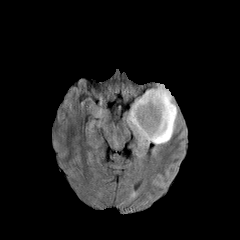
FLAIR magnetic resonance.
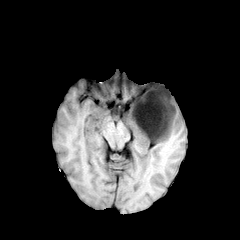
T1-weighted MRI.
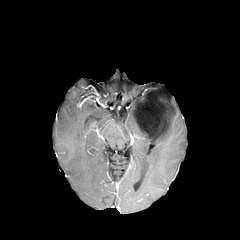
Post-contrast T1-weighted MR of the same slice.
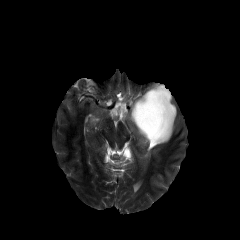
T2-weighted MR.
Brain. 240x240 px.
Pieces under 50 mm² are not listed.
necrotic tumor core — bbox(134, 88, 173, 138)
peritumoral edema — bbox(127, 90, 177, 147)
enhancing tumor — bbox(132, 86, 174, 141)